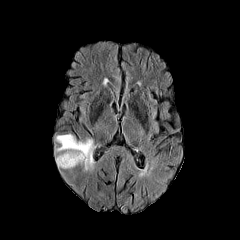
FLAIR MRI.
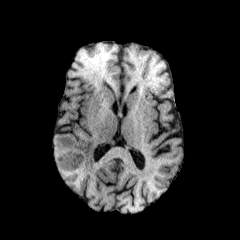
T1-weighted magnetic resonance.
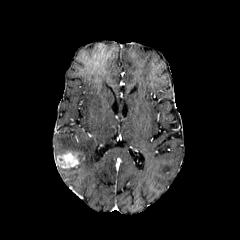
Post-contrast T1-weighted MR.
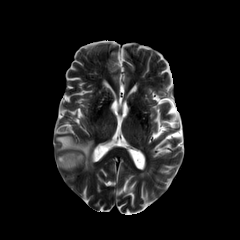
T2-weighted MR image.
Axial plane. Brain.
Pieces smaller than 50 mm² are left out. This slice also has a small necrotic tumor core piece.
enhancing tumor: x1=56 y1=151 x2=84 y2=168
peritumoral edema: x1=56 y1=134 x2=93 y2=168